FLAIR MR.
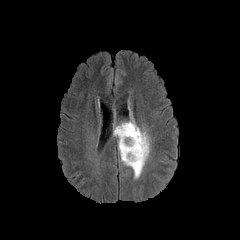
T1-weighted MR.
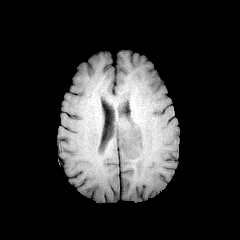
Post-contrast T1-weighted MR.
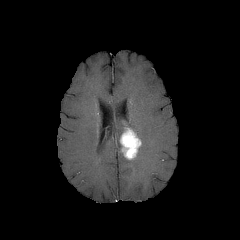
T2-weighted MRI.
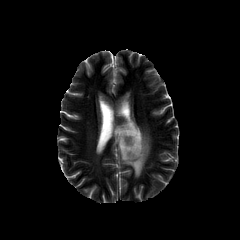
Head, Axial plane
enhancing tumor: bounding box x1=119, y1=127, x2=141, y2=159
peritumoral edema: bounding box x1=113, y1=114, x2=150, y2=178